Brain; Image size 240x240; Slice 110 of 155
FLAIR MRI.
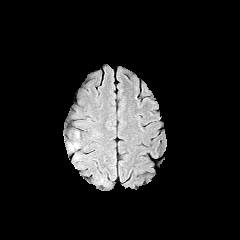
T1-weighted MRI.
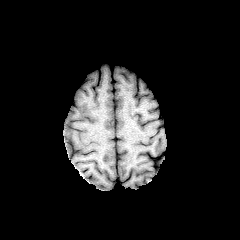
Post-contrast T1-weighted MRI.
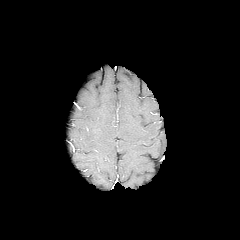
T2-weighted MR.
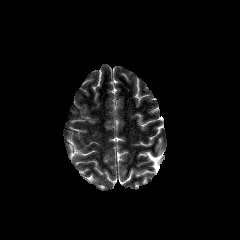
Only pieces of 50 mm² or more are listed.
peritumoral edema: bbox(68, 143, 78, 150)